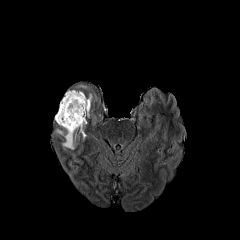
FLAIR MR image.
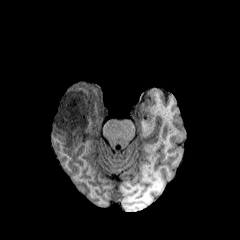
T1-weighted MRI of the same slice.
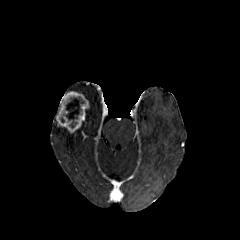
Same slice, post-contrast T1-weighted magnetic resonance.
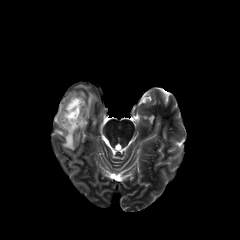
T2-weighted MR image of the same slice.
Axial slice | Brain
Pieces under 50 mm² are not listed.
necrotic tumor core: bbox=[64, 97, 83, 122] | peritumoral edema: bbox=[75, 84, 90, 90]; bbox=[55, 129, 79, 149]; bbox=[87, 93, 96, 117] | enhancing tumor: bbox=[55, 91, 89, 133]